FLAIR MRI.
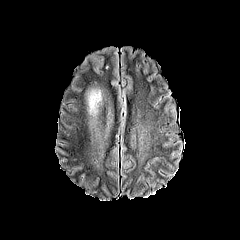
T1-weighted MR.
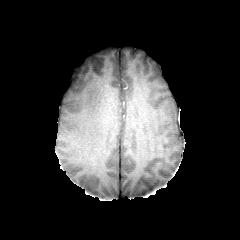
Post-contrast T1-weighted MR.
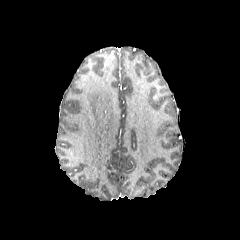
T2-weighted MRI.
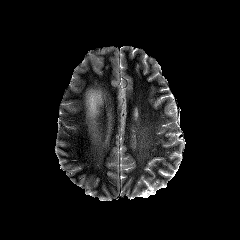
Brain.
peritumoral edema — l=89, t=92, r=101, b=112